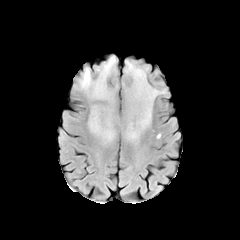
FLAIR MRI.
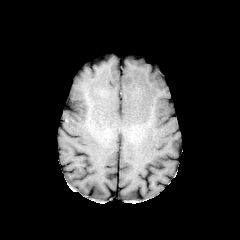
Same slice, T1-weighted MR.
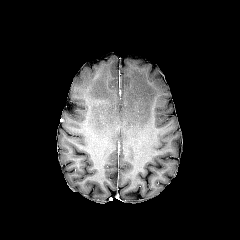
Post-contrast T1-weighted MRI of the same slice.
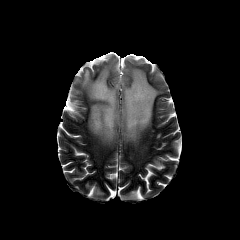
T2-weighted MRI of the same slice.
Axial plane | Brain | 240x240
2 peritumoral edema regions are located at [121,60,165,139], [78,56,119,140].